FLAIR MR.
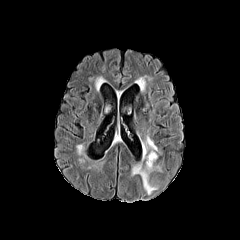
T1-weighted MR image.
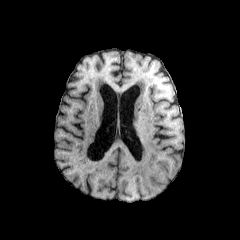
Post-contrast T1-weighted MRI.
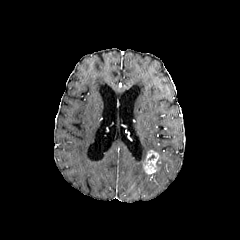
T2-weighted MR image.
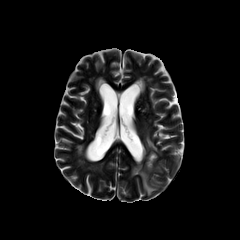
Brain | 240x240 px
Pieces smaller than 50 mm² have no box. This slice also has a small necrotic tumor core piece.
enhancing_tumor:
  - (143, 150, 158, 174)
peritumoral_edema:
  - (132, 164, 157, 194)
  - (143, 136, 157, 152)